FLAIR MRI.
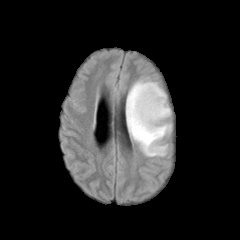
T1-weighted MRI.
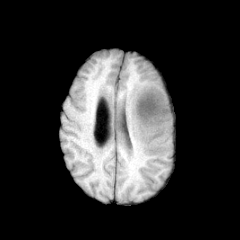
Post-contrast T1-weighted MR image.
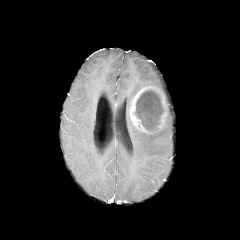
T2-weighted MR.
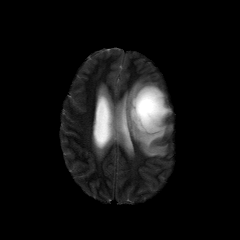
Brain
Findings:
• enhancing tumor: (x1=129, y1=86, x2=168, y2=132)
• peritumoral edema: (x1=126, y1=79, x2=171, y2=156)
• necrotic tumor core: (x1=135, y1=90, x2=163, y2=126)